Brain | Axial slice
FLAIR MR image.
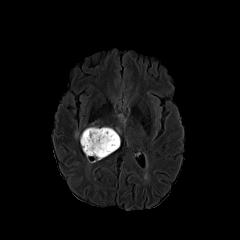
T1-weighted magnetic resonance.
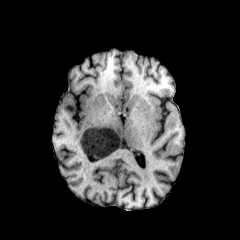
Post-contrast T1-weighted MR.
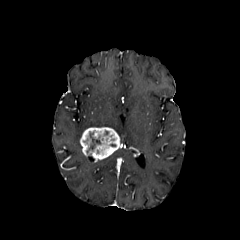
T2-weighted MR image.
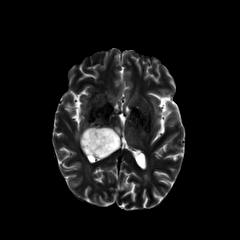
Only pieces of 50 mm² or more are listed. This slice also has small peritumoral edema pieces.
enhancing tumor: x1=80 y1=127 x2=120 y2=162 | necrotic tumor core: x1=87 y1=132 x2=100 y2=152